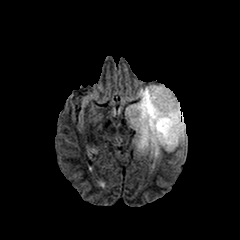
FLAIR MR.
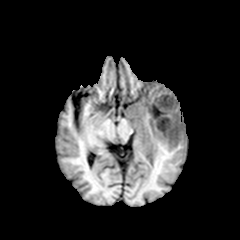
T1-weighted MRI.
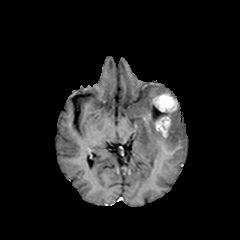
Post-contrast T1-weighted magnetic resonance.
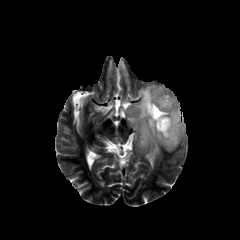
T2-weighted MR.
Brain
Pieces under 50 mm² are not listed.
The largest enhancing tumor region is at box=[147, 93, 177, 137]. The peritumoral edema is bounded by box=[126, 84, 186, 159]. The largest necrotic tumor core region is at box=[150, 105, 164, 119].